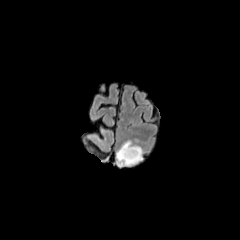
FLAIR magnetic resonance.
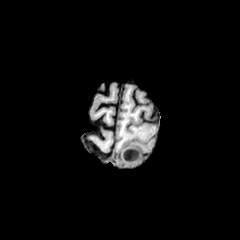
Same slice, T1-weighted MR.
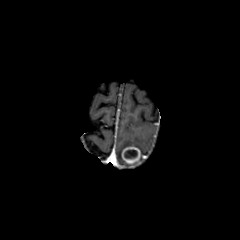
Same slice, post-contrast T1-weighted MR.
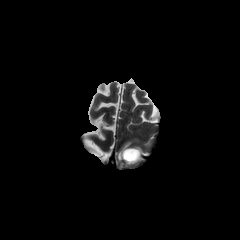
Same slice, T2-weighted MR.
Axial view
<segmentation>
  <enhancing_tumor>121, 146, 143, 166</enhancing_tumor>
  <necrotic_tumor_core>124, 150, 137, 158</necrotic_tumor_core>
  <peritumoral_edema>116, 141, 143, 166</peritumoral_edema>
</segmentation>